Slice index 35
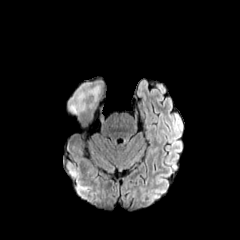
FLAIR MR image.
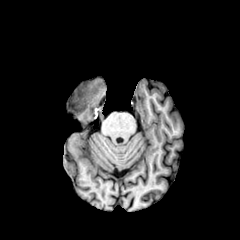
Same slice, T1-weighted MR image.
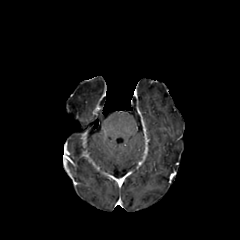
Post-contrast T1-weighted magnetic resonance of the same slice.
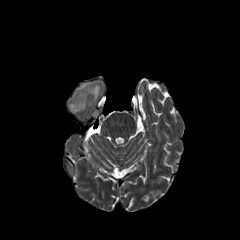
Same slice, T2-weighted MR.
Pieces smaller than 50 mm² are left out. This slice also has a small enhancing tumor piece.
Segmented structures:
- peritumoral edema: box=[68, 81, 101, 113]